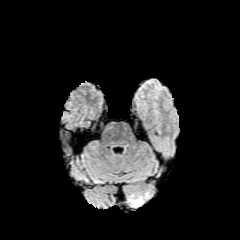
FLAIR MR.
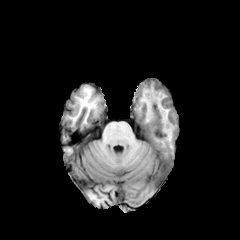
Same slice, T1-weighted MR image.
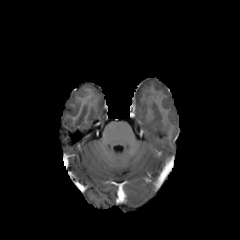
Post-contrast T1-weighted magnetic resonance.
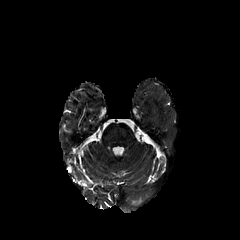
T2-weighted MR image.
Axial slice; Brain
The peritumoral edema is located at [128,193,149,206].